Axial plane; Slice index 83; Head; Image width 240 mm, 1.00 mm slice spacing
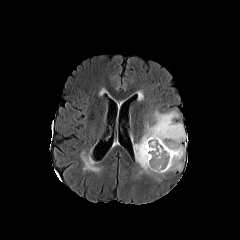
FLAIR MR.
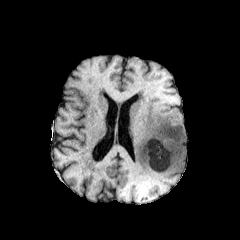
Same slice, T1-weighted magnetic resonance.
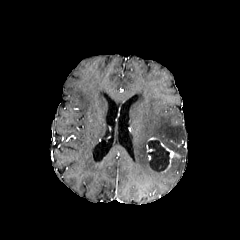
Post-contrast T1-weighted magnetic resonance.
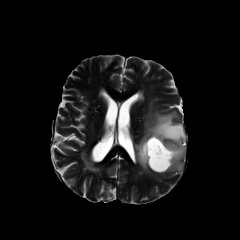
T2-weighted magnetic resonance.
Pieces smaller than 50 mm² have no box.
{"enhancing_tumor": ["161,143,180,172"], "necrotic_tumor_core": ["147,140,169,172"], "peritumoral_edema": ["133,110,187,176"]}